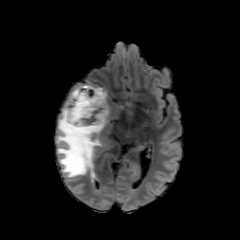
FLAIR MR image.
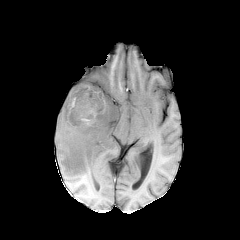
T1-weighted MR of the same slice.
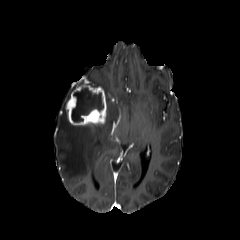
Same slice, post-contrast T1-weighted MR.
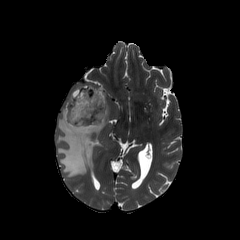
Same slice, T2-weighted magnetic resonance.
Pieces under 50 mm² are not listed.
The largest peritumoral edema region is at (56, 85, 118, 177). The enhancing tumor is bounded by (65, 82, 106, 126). The necrotic tumor core is at (71, 87, 103, 121).